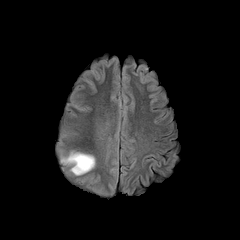
FLAIR MRI.
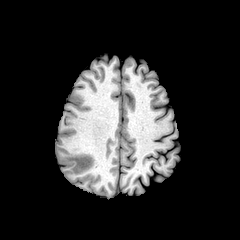
T1-weighted MR.
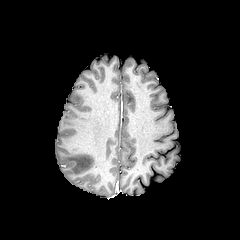
Same slice, post-contrast T1-weighted magnetic resonance.
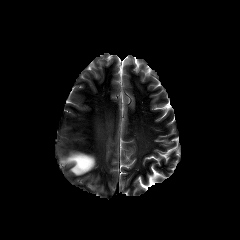
T2-weighted magnetic resonance.
Axial slice
Annotated regions:
- peritumoral edema: box=[61, 153, 94, 175]